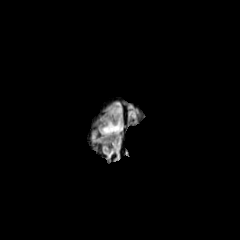
FLAIR MR.
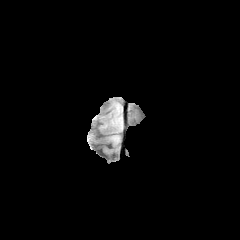
T1-weighted MR of the same slice.
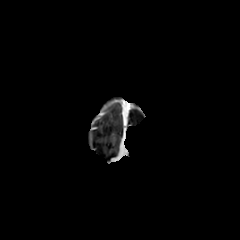
Post-contrast T1-weighted MR image.
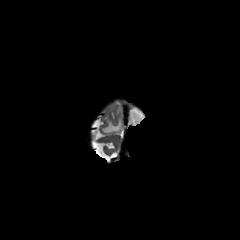
T2-weighted MR.
Brain
Annotated regions:
• peritumoral edema: 102 117 122 133, 115 103 120 114